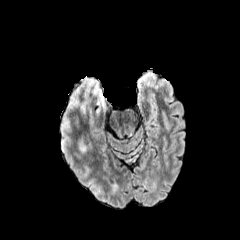
FLAIR MR.
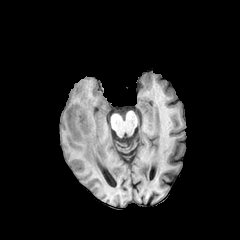
T1-weighted MR image.
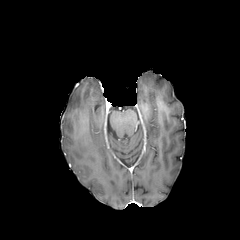
Post-contrast T1-weighted MR.
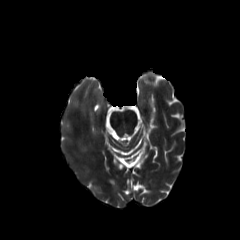
Same slice, T2-weighted MRI.
Head
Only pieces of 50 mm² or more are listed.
peritumoral edema: left=78, top=134, right=93, bottom=154; left=81, top=87, right=107, bottom=123